Slice 87/155 | Brain | 240x240
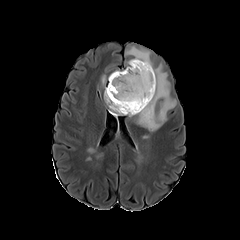
FLAIR MRI.
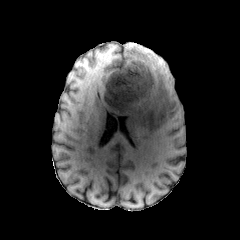
T1-weighted magnetic resonance.
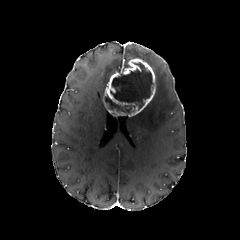
Same slice, post-contrast T1-weighted MR image.
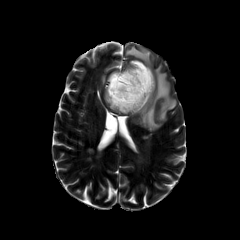
Same slice, T2-weighted MR.
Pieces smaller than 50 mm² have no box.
The enhancing tumor is located at rect(105, 58, 155, 116). 2 necrotic tumor core regions appear at rect(105, 96, 135, 113); rect(110, 62, 153, 110). The 2 largest peritumoral edema regions are located at rect(128, 48, 151, 67); rect(134, 67, 176, 131).